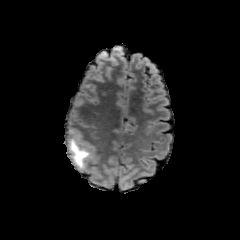
FLAIR MR.
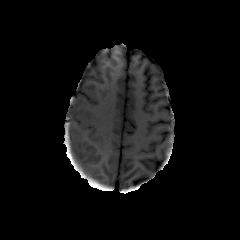
T1-weighted magnetic resonance of the same slice.
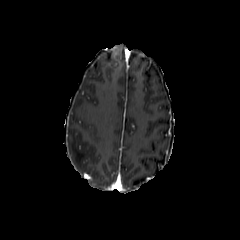
Post-contrast T1-weighted MR.
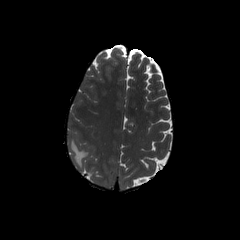
T2-weighted MR of the same slice.
Image size 240x240.
peritumoral_edema:
  - l=69, t=138, r=89, b=167